Brain; Image size 240x240
FLAIR MR.
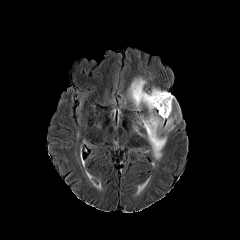
T1-weighted MR.
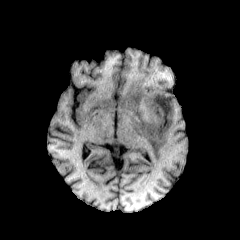
Post-contrast T1-weighted magnetic resonance.
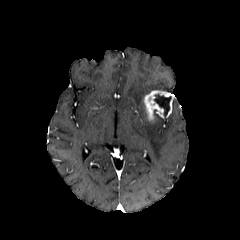
T2-weighted MR image.
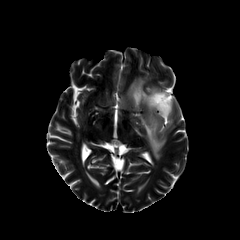
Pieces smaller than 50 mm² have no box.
Findings:
• enhancing tumor: (left=143, top=90, right=174, bottom=122)
• necrotic tumor core: (left=154, top=94, right=171, bottom=117)
• peritumoral edema: (left=141, top=111, right=166, bottom=159), (left=128, top=77, right=149, bottom=110), (left=164, top=114, right=176, bottom=133)